Axial slice. Head. Image width 240 mm, 1.00 mm slice spacing.
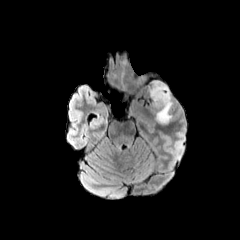
FLAIR MR.
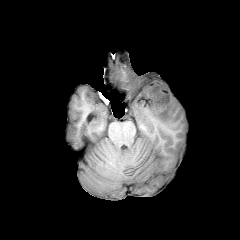
Same slice, T1-weighted MR image.
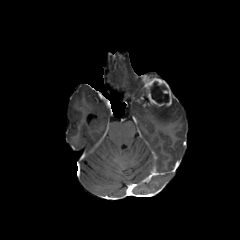
Post-contrast T1-weighted MR image of the same slice.
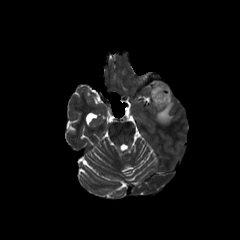
T2-weighted MRI of the same slice.
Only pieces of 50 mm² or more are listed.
The enhancing tumor appears at bbox(142, 74, 173, 107). The largest peritumoral edema region is located at bbox(152, 98, 173, 124). The necrotic tumor core is located at bbox(150, 82, 169, 103).